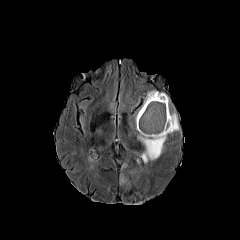
FLAIR MR image.
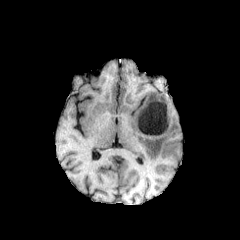
T1-weighted MR of the same slice.
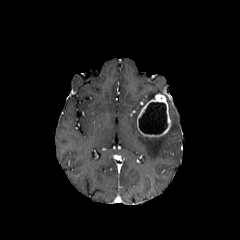
Post-contrast T1-weighted MRI.
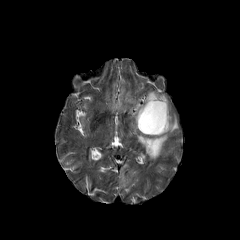
T2-weighted MR.
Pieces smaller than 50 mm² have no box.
enhancing tumor: 137, 94, 171, 137
peritumoral edema: 145, 89, 158, 103; 137, 110, 179, 162
necrotic tumor core: 139, 102, 167, 134